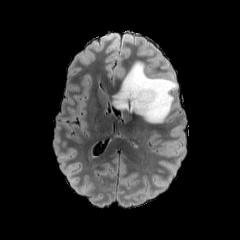
FLAIR MRI.
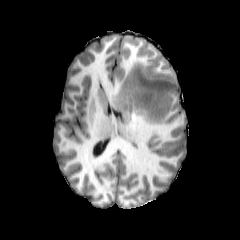
T1-weighted magnetic resonance of the same slice.
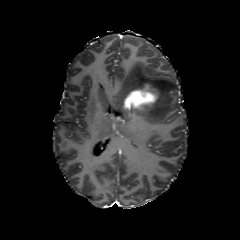
Post-contrast T1-weighted MR image.
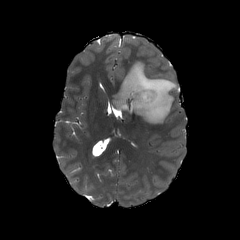
T2-weighted magnetic resonance of the same slice.
Axial view
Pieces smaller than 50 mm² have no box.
{"peritumoral_edema": ["[112,59,177,123]"], "enhancing_tumor": ["[124,83,160,110]"]}